FLAIR MRI.
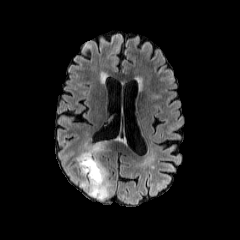
T1-weighted MR image.
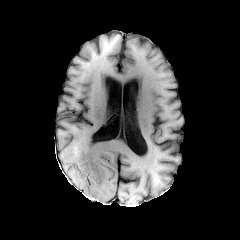
Post-contrast T1-weighted MRI.
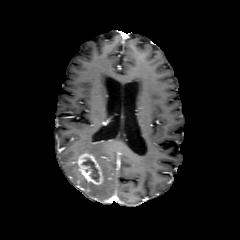
T2-weighted MR image.
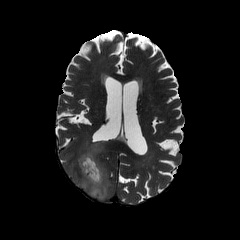
240x240
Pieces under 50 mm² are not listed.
<segmentation>
  <necrotic_tumor_core><box>83,158,99,181</box></necrotic_tumor_core>
  <enhancing_tumor><box>76,152,102,184</box></enhancing_tumor>
  <peritumoral_edema><box>68,142,110,200</box></peritumoral_edema>
</segmentation>